FLAIR magnetic resonance.
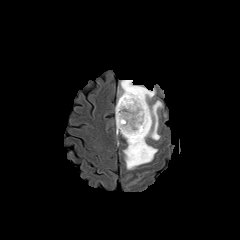
T1-weighted MRI.
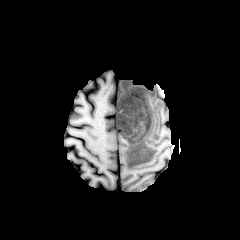
Post-contrast T1-weighted magnetic resonance.
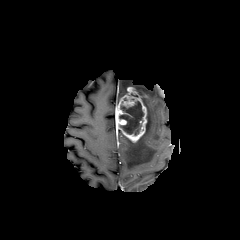
T2-weighted MR image.
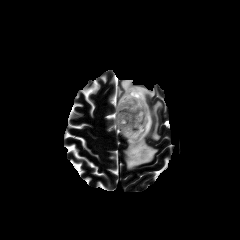
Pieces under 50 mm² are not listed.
necrotic tumor core: bounding box box=[119, 101, 143, 135]
peritumoral edema: bounding box box=[116, 80, 162, 169]
enhancing tumor: bounding box box=[115, 87, 147, 142]